Axial plane
FLAIR MR image.
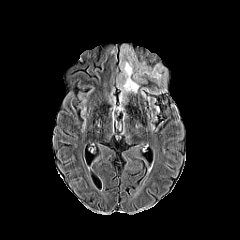
T1-weighted magnetic resonance.
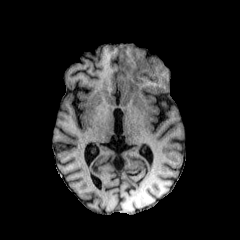
Post-contrast T1-weighted magnetic resonance.
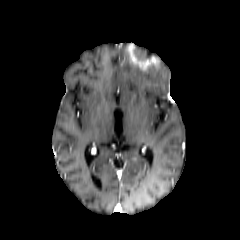
T2-weighted magnetic resonance.
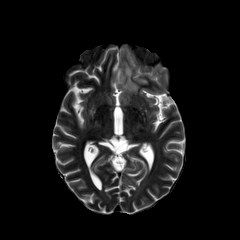
Annotated regions:
* peritumoral edema: x1=121, y1=46, x2=163, y2=92
* enhancing tumor: x1=126, y1=44, x2=158, y2=70